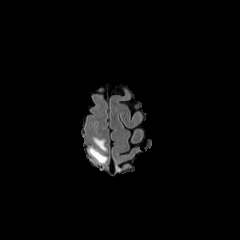
FLAIR magnetic resonance.
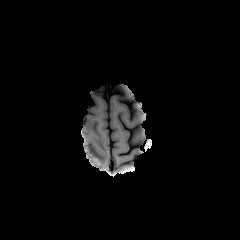
T1-weighted MR image.
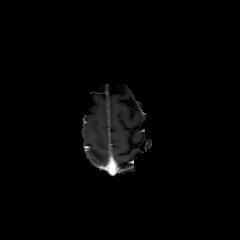
Post-contrast T1-weighted MRI of the same slice.
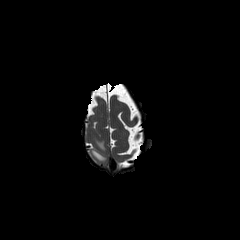
T2-weighted magnetic resonance.
240x240 px. Head.
{
  "peritumoral_edema": [
    "89:147:107:164",
    "93:137:106:151"
  ]
}